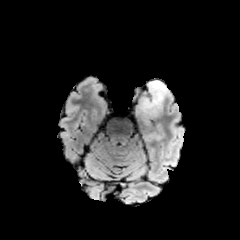
FLAIR MRI.
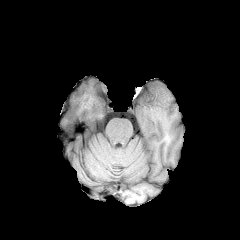
Same slice, T1-weighted magnetic resonance.
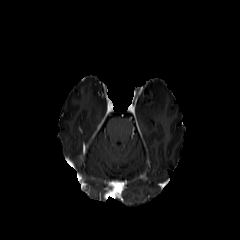
Post-contrast T1-weighted MRI of the same slice.
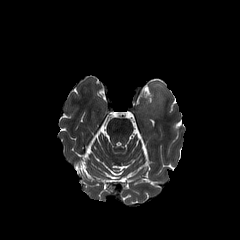
T2-weighted MR image of the same slice.
Axial view; Brain
peritumoral edema at x1=136, y1=82, x2=167, y2=114